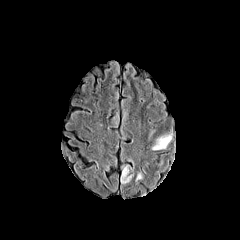
FLAIR MR image.
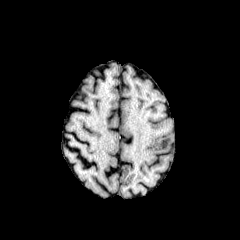
T1-weighted MRI.
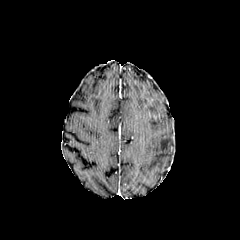
Post-contrast T1-weighted magnetic resonance.
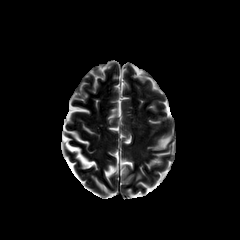
T2-weighted MRI.
240x240.
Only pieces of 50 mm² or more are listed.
The 2 largest peritumoral edema regions are located at [x1=152, y1=133, x2=172, y2=150], [x1=120, y1=165, x2=133, y2=183].